FLAIR MR image.
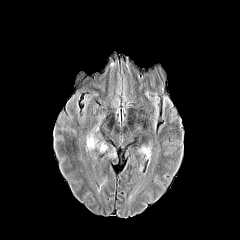
T1-weighted MR image.
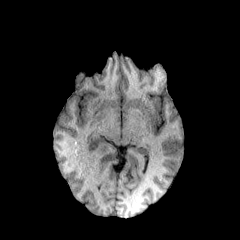
Post-contrast T1-weighted MR image.
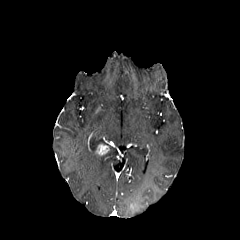
T2-weighted MR.
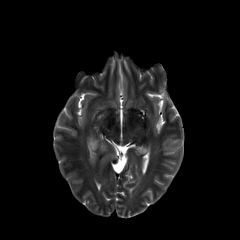
240x240
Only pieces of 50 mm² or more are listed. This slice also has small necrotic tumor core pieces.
{"enhancing_tumor": ["(96, 144, 108, 154)"], "peritumoral_edema": ["(87, 116, 118, 160)"]}